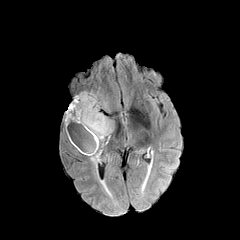
FLAIR MR image.
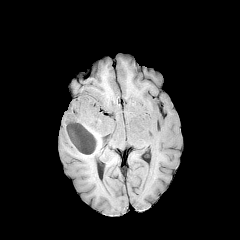
Same slice, T1-weighted MR.
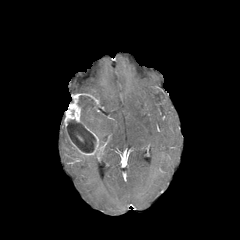
Post-contrast T1-weighted MR image.
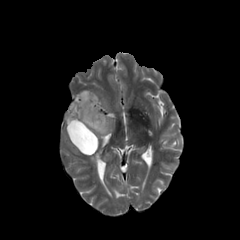
T2-weighted MR image.
Brain, Image size 240x240
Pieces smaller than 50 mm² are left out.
Segmented structures:
- necrotic tumor core: (67,120,96,152)
- peritumoral edema: (89,151,100,168), (79,91,113,144)
- enhancing tumor: (64,94,99,155)